Brain | Axial view | Slice 59 of 155
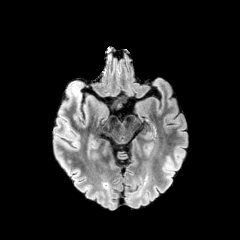
FLAIR magnetic resonance.
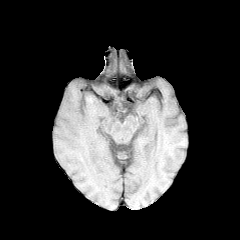
T1-weighted MRI of the same slice.
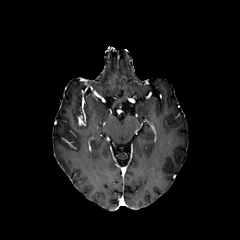
Post-contrast T1-weighted MR image.
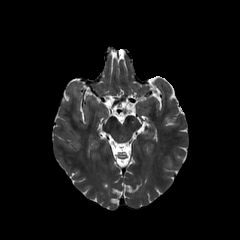
T2-weighted MR.
The enhancing tumor is located at x1=75 y1=116 x2=84 y2=126.